FLAIR MRI.
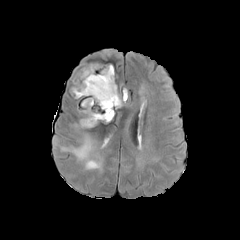
T1-weighted MR image.
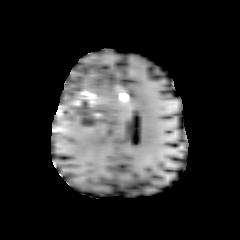
Post-contrast T1-weighted MR.
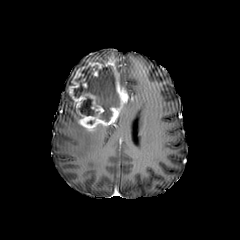
T2-weighted magnetic resonance.
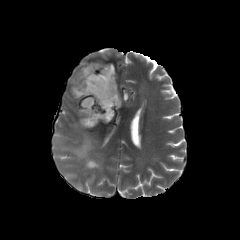
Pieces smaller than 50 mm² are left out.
enhancing tumor = x1=68 y1=62 x2=128 y2=129
necrotic tumor core = x1=74 y1=65 x2=119 y2=121, x1=87 y1=159 x2=96 y2=165
peritumoral edema = x1=60 y1=133 x2=102 y2=170, x1=73 y1=123 x2=84 y2=131